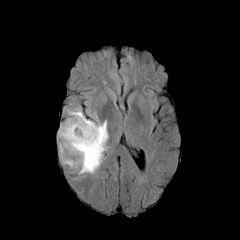
FLAIR magnetic resonance.
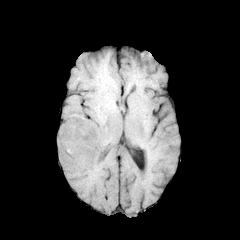
T1-weighted magnetic resonance.
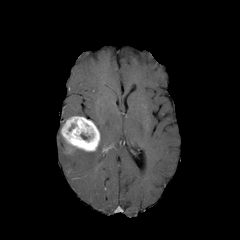
Post-contrast T1-weighted MR image of the same slice.
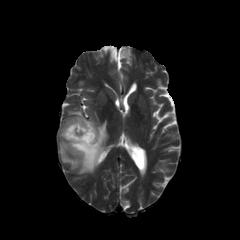
T2-weighted MRI.
Image size 240x240. Axial view.
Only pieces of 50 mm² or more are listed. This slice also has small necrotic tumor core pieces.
The enhancing tumor is at {"x1": 60, "y1": 116, "x2": 100, "y2": 153}. 2 peritumoral edema regions are bounded by {"x1": 58, "y1": 114, "x2": 108, "y2": 174}, {"x1": 67, "y1": 108, "x2": 84, "y2": 116}.